240x240; Axial slice; Slice 120/155
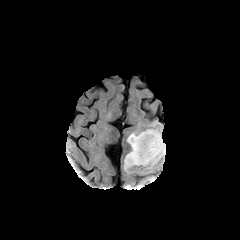
FLAIR MR image.
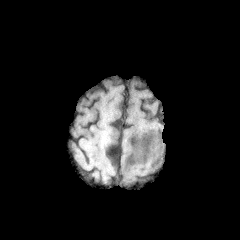
T1-weighted MR image of the same slice.
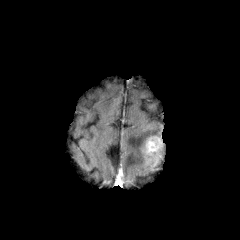
Post-contrast T1-weighted MRI.
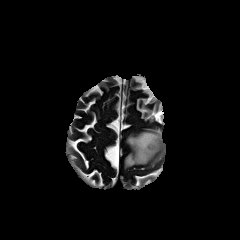
Same slice, T2-weighted MR image.
peritumoral edema: {"x1": 160, "y1": 144, "x2": 165, "y2": 158}, {"x1": 124, "y1": 128, "x2": 161, "y2": 169}
enhancing tumor: {"x1": 142, "y1": 136, "x2": 163, "y2": 165}